Head. 240x240. Axial view.
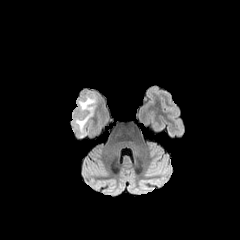
FLAIR magnetic resonance.
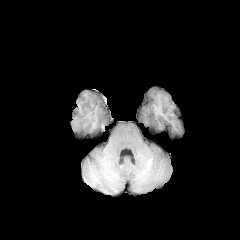
T1-weighted magnetic resonance.
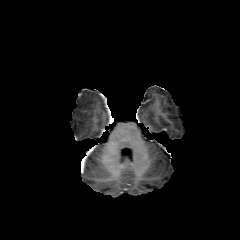
Same slice, post-contrast T1-weighted MR image.
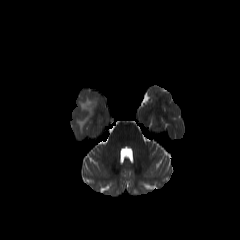
T2-weighted MR of the same slice.
The peritumoral edema is at <box>75,96,94,132</box>.